240x240 px
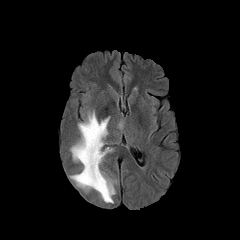
FLAIR magnetic resonance.
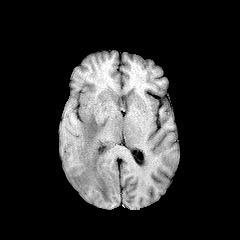
T1-weighted MR of the same slice.
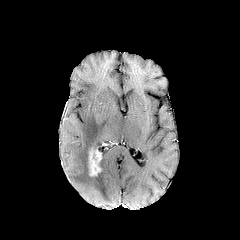
Same slice, post-contrast T1-weighted MR image.
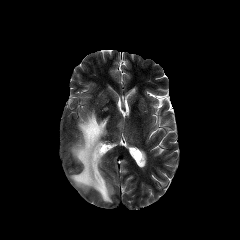
Same slice, T2-weighted MRI.
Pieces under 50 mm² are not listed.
{"peritumoral_edema": [{"x1": 70, "y1": 111, "x2": 116, "y2": 203}], "enhancing_tumor": [{"x1": 88, "y1": 148, "x2": 101, "y2": 176}]}